FLAIR MR.
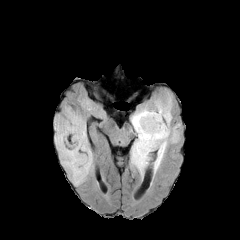
T1-weighted MRI.
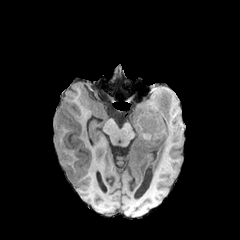
Post-contrast T1-weighted MR image.
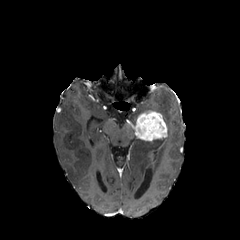
T2-weighted MRI.
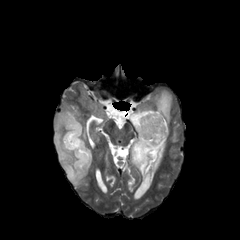
Head, 240x240 px
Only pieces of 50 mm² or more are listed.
peritumoral edema: (131, 91, 179, 175), (55, 104, 92, 184) | enhancing tumor: (131, 110, 167, 141)